Head. Axial view. Slice index 77. Image size 240x240.
FLAIR MR image.
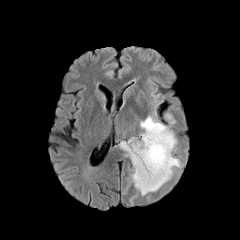
T1-weighted MR.
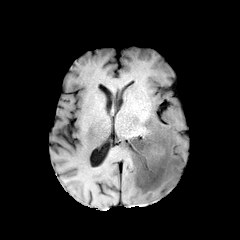
Post-contrast T1-weighted MR image.
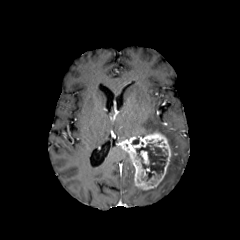
T2-weighted MR image.
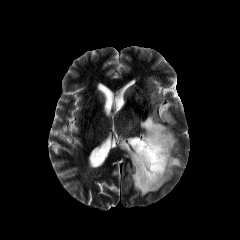
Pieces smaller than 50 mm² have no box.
The largest enhancing tumor region appears at x1=119 y1=130 x2=171 y2=190. The 2 largest peritumoral edema regions are located at x1=135 y1=116 x2=181 y2=195, x1=165 y1=113 x2=174 y2=124. The largest necrotic tumor core region appears at x1=136 y1=144 x2=167 y2=174.